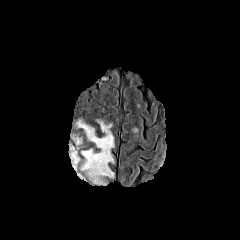
FLAIR MR image.
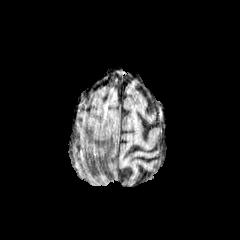
Same slice, T1-weighted MR.
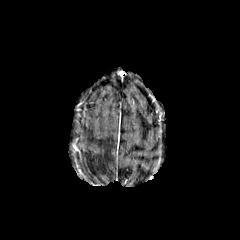
Post-contrast T1-weighted magnetic resonance.
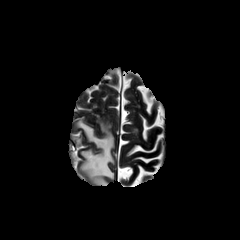
Same slice, T2-weighted MRI.
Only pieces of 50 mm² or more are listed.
<segmentation>
  <peritumoral_edema>(77, 120, 114, 177)</peritumoral_edema>
</segmentation>